Head | Axial slice
FLAIR MR image.
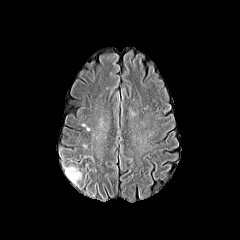
T1-weighted MR image.
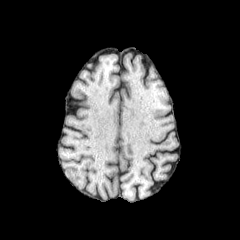
Post-contrast T1-weighted MRI.
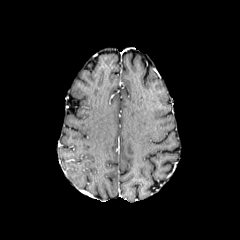
T2-weighted MR.
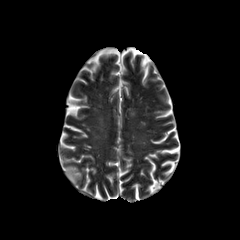
peritumoral_edema:
  - l=64, t=166, r=82, b=185